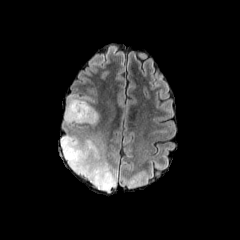
FLAIR magnetic resonance.
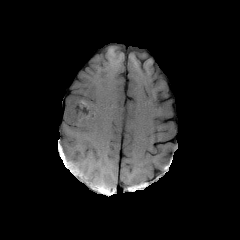
Same slice, T1-weighted magnetic resonance.
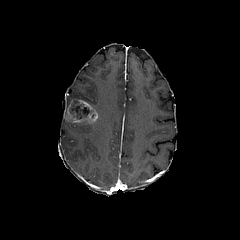
Post-contrast T1-weighted MR.
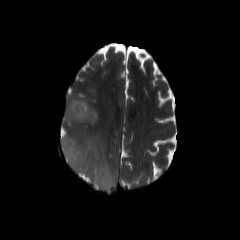
T2-weighted MRI.
Brain
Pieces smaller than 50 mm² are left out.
peritumoral edema — (61,135,117,191), (65,95,101,126)
enhancing tumor — (65,99,98,123)
necrotic tumor core — (69,102,91,119)